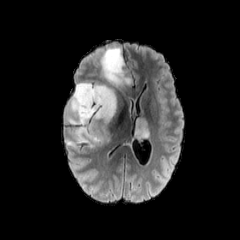
FLAIR MRI.
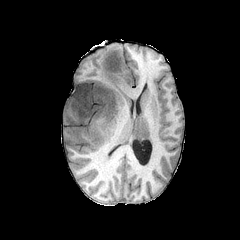
T1-weighted MRI of the same slice.
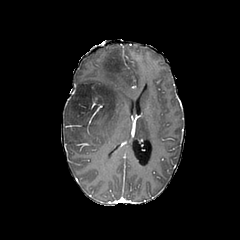
Post-contrast T1-weighted MRI.
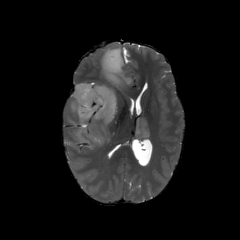
T2-weighted MRI.
Brain; Axial plane
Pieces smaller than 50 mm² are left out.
The 3 largest peritumoral edema regions are located at left=64, top=80, right=118, bottom=151; left=98, top=46, right=138, bottom=99; left=130, top=117, right=150, bottom=140.